Head | Slice 51/155 | Axial plane
FLAIR magnetic resonance.
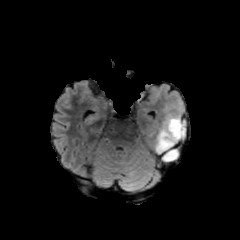
T1-weighted magnetic resonance.
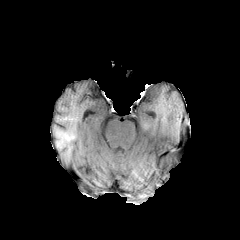
Post-contrast T1-weighted magnetic resonance.
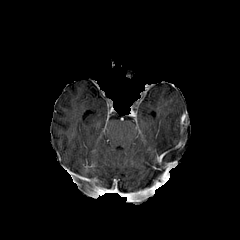
T2-weighted magnetic resonance.
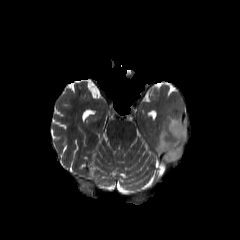
2 peritumoral edema regions appear at box(162, 149, 179, 161); box(155, 116, 180, 153).